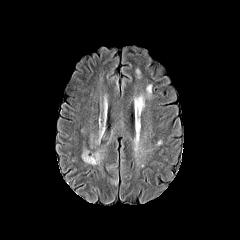
FLAIR MR image.
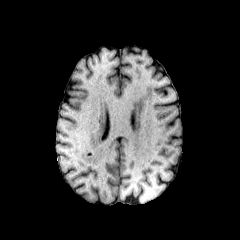
Same slice, T1-weighted magnetic resonance.
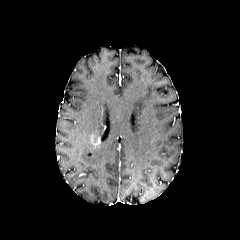
Post-contrast T1-weighted MRI.
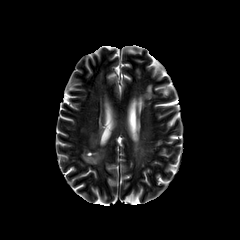
T2-weighted magnetic resonance of the same slice.
Brain; Axial plane
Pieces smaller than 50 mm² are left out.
enhancing_tumor:
  - bbox(91, 135, 100, 147)
peritumoral_edema:
  - bbox(82, 149, 103, 165)